FLAIR MR image.
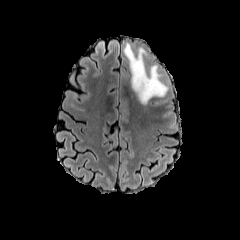
T1-weighted magnetic resonance.
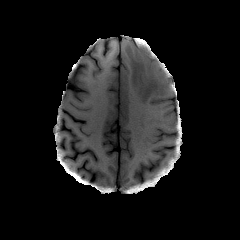
Post-contrast T1-weighted magnetic resonance.
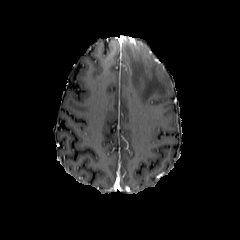
T2-weighted MR.
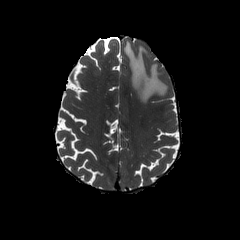
Axial view
peritumoral_edema:
  - bbox(123, 41, 167, 103)